Head, Image width 240 mm, 1.00 mm slice spacing
FLAIR MR image.
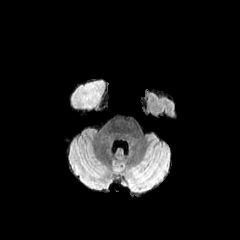
T1-weighted MRI.
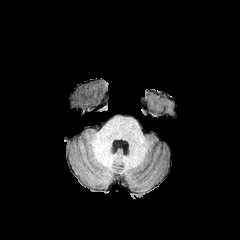
Post-contrast T1-weighted MR.
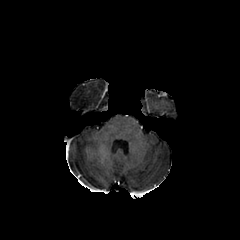
T2-weighted MR image.
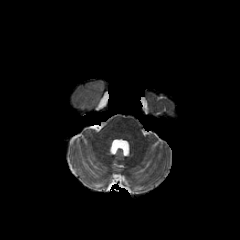
peritumoral edema at [69, 80, 106, 112]